Image covers 240 mm x 240 mm
FLAIR MRI.
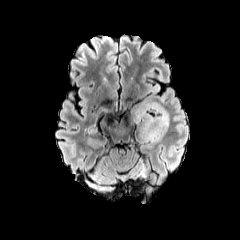
T1-weighted magnetic resonance.
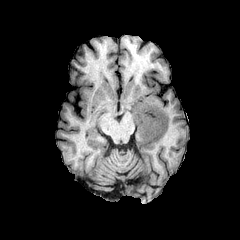
Post-contrast T1-weighted magnetic resonance.
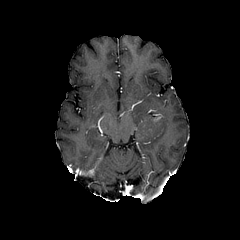
T2-weighted MR image.
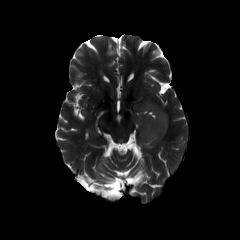
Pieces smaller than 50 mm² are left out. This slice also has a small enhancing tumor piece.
The peritumoral edema appears at [x1=133, y1=98, x2=169, y2=148].